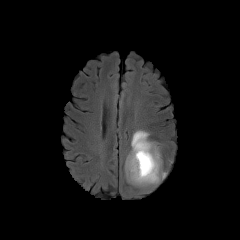
FLAIR magnetic resonance.
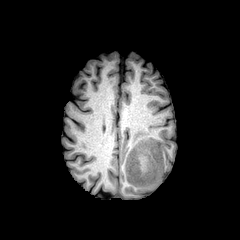
Same slice, T1-weighted MR.
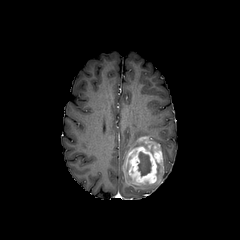
Post-contrast T1-weighted MRI.
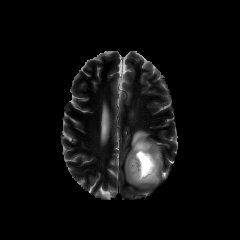
T2-weighted MRI of the same slice.
Axial view | Head | Image size 240x240
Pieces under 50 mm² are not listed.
enhancing tumor: bbox(124, 136, 163, 185) | peritumoral edema: bbox(132, 170, 166, 187); bbox(130, 130, 149, 149) | necrotic tumor core: bbox(138, 152, 151, 176)